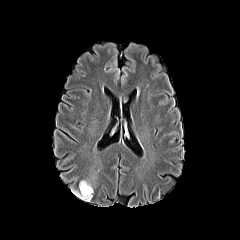
FLAIR MR image.
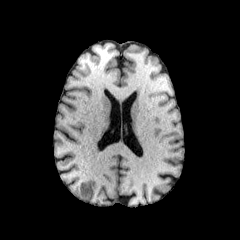
T1-weighted MRI.
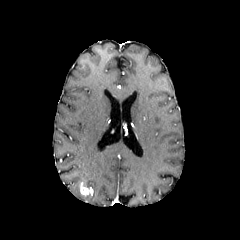
Same slice, post-contrast T1-weighted MR.
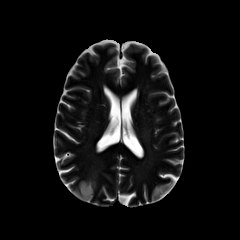
T2-weighted magnetic resonance.
Image size 240x240; Axial view
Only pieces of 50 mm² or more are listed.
The largest peritumoral edema region is at (71,189,92,201). The enhancing tumor appears at (80,182,93,196).